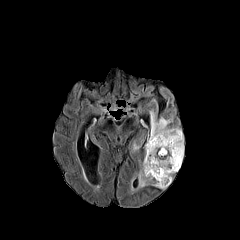
FLAIR MRI.
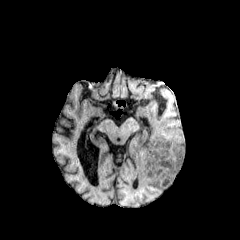
T1-weighted MR of the same slice.
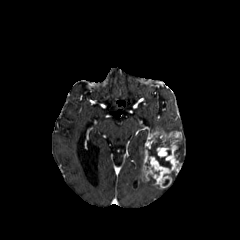
Post-contrast T1-weighted MRI of the same slice.
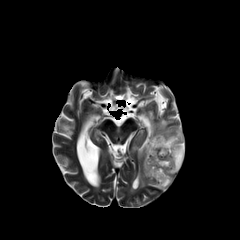
T2-weighted MR image of the same slice.
Axial slice | Brain
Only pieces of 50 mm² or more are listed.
peritumoral edema — box=[139, 170, 152, 187]; box=[149, 111, 181, 133]; box=[174, 133, 184, 162]
enhancing tumor — box=[141, 127, 182, 188]
necrotic tumor core — box=[148, 137, 171, 168]